Axial plane. 240x240 px.
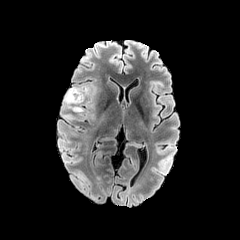
FLAIR MR image.
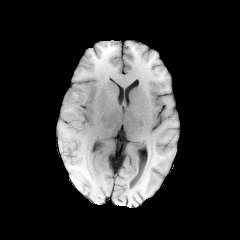
T1-weighted MRI of the same slice.
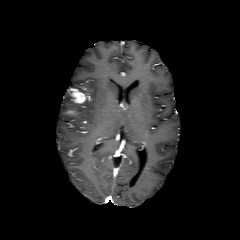
Post-contrast T1-weighted MR.
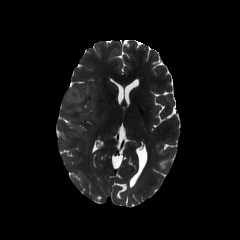
T2-weighted MR.
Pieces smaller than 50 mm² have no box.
peritumoral edema at <box>70,87,88,95</box>, <box>64,90,76,104</box>
enhancing tumor at <box>69,89,87,103</box>